Head | Axial slice | 240x240 | Slice 80 of 155
FLAIR magnetic resonance.
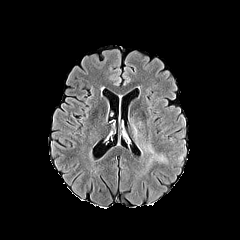
T1-weighted MR image.
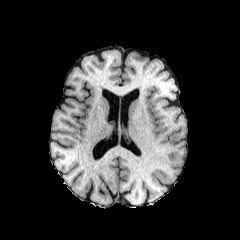
Post-contrast T1-weighted MR.
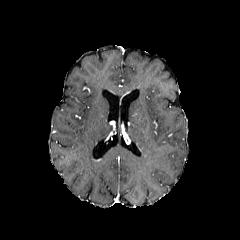
T2-weighted MR image.
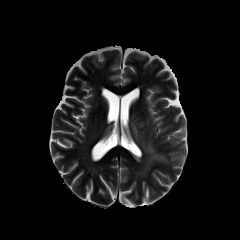
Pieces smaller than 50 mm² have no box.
peritumoral edema: x1=130 y1=112 x2=142 y2=139, x1=144 y1=144 x2=167 y2=169